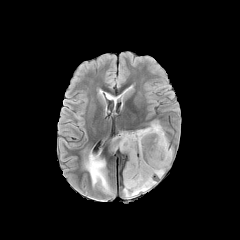
FLAIR magnetic resonance.
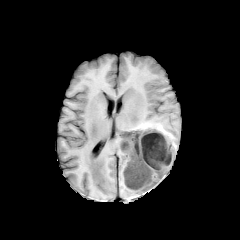
T1-weighted MRI of the same slice.
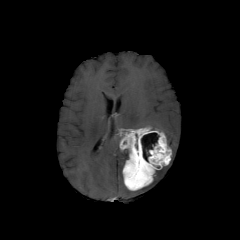
Post-contrast T1-weighted MR.
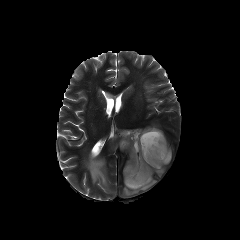
T2-weighted magnetic resonance of the same slice.
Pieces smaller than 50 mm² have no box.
The 5 largest peritumoral edema regions are located at 155,166,165,177; 85,153,112,193; 108,134,121,153; 150,122,163,131; 123,180,156,197. The largest necrotic tumor core region is at 141,133,158,161. The enhancing tumor lies within 119,127,171,190.